Slice 134 of 155, Image size 240x240
FLAIR MRI.
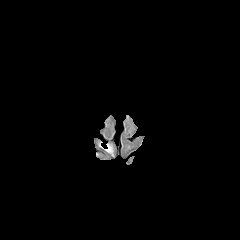
T1-weighted MRI.
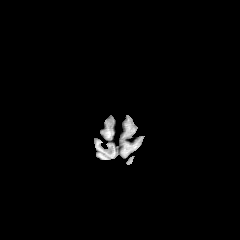
Post-contrast T1-weighted magnetic resonance.
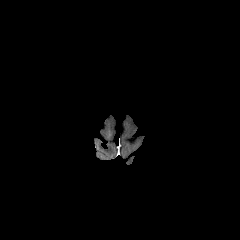
T2-weighted MRI.
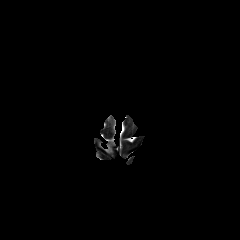
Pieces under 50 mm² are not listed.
peritumoral edema: [105, 144, 113, 155]